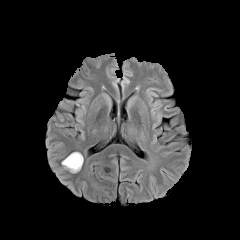
FLAIR MRI.
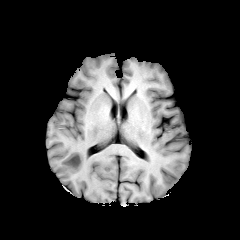
T1-weighted MR.
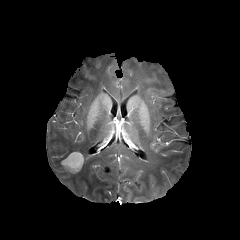
Post-contrast T1-weighted MR image.
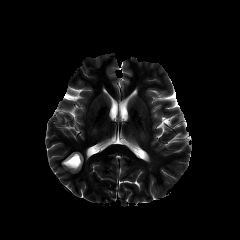
T2-weighted MR image.
Brain
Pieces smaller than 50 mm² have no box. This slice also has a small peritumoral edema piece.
• enhancing tumor: l=62, t=152, r=83, b=171